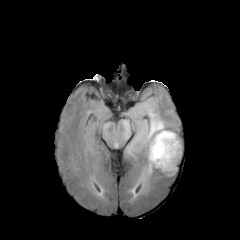
FLAIR MR image.
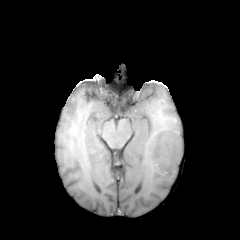
T1-weighted MR.
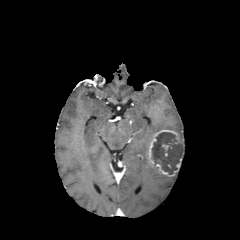
Post-contrast T1-weighted MR image.
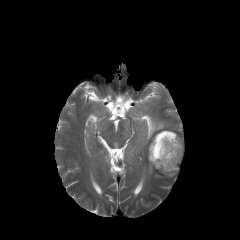
T2-weighted MR.
Image size 240x240.
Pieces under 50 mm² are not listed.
peritumoral edema — [x1=136, y1=160, x2=158, y2=193], [x1=127, y1=102, x2=168, y2=158]
enhancing tumor — [x1=148, y1=130, x2=184, y2=176]
necrotic tumor core — [x1=152, y1=132, x2=182, y2=174]